Slice 98/155; 240x240 px; Image width 240 mm
FLAIR magnetic resonance.
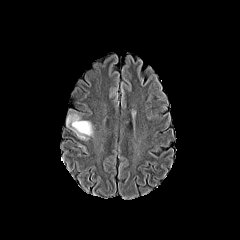
T1-weighted MR.
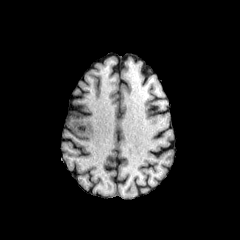
Post-contrast T1-weighted MR.
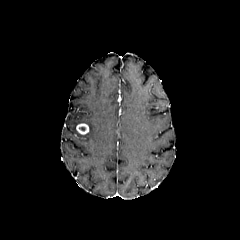
T2-weighted MR.
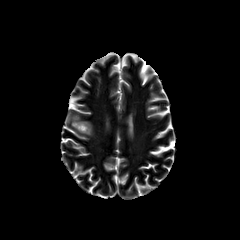
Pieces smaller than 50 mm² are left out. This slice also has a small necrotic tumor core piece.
{
  "peritumoral_edema": [
    "x1=66, y1=111, x2=93, y2=139"
  ],
  "enhancing_tumor": [
    "x1=76, y1=123, x2=89, y2=134"
  ]
}